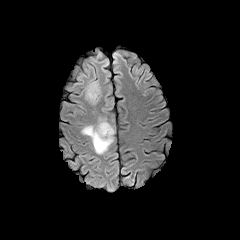
FLAIR magnetic resonance.
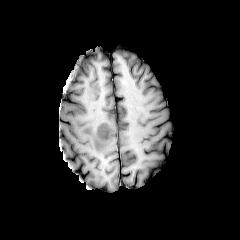
T1-weighted MR image of the same slice.
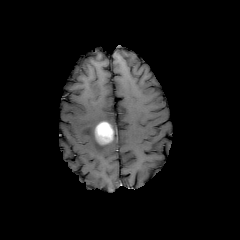
Same slice, post-contrast T1-weighted MR image.
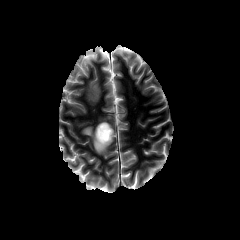
Same slice, T2-weighted MR image.
Axial view.
The enhancing tumor is located at rect(95, 121, 113, 144). 3 peritumoral edema regions are bounded by rect(84, 81, 99, 102); rect(81, 124, 115, 154); rect(97, 117, 110, 124).